FLAIR magnetic resonance.
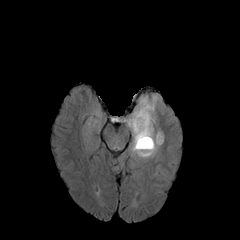
T1-weighted magnetic resonance.
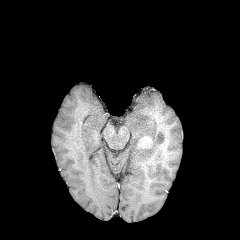
Post-contrast T1-weighted MR.
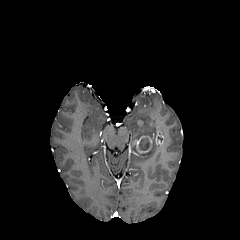
T2-weighted MRI.
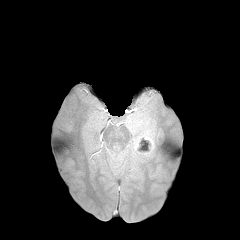
Axial slice, Head
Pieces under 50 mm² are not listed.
necrotic tumor core — bbox=[139, 137, 150, 150]
peritumoral edema — bbox=[126, 95, 163, 158]
enhancing tumor — bbox=[132, 136, 152, 153]; bbox=[155, 133, 163, 144]